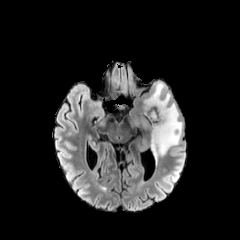
FLAIR MR.
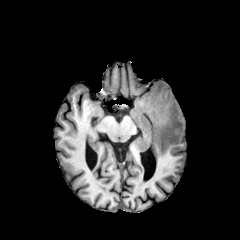
T1-weighted magnetic resonance of the same slice.
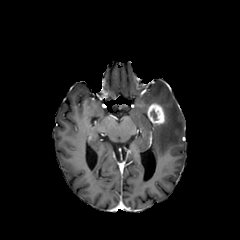
Post-contrast T1-weighted magnetic resonance.
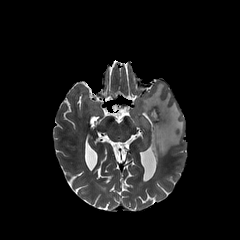
T2-weighted magnetic resonance.
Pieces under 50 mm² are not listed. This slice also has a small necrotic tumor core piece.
The peritumoral edema is at bbox=[142, 82, 183, 159]. The enhancing tumor is located at bbox=[147, 102, 165, 125].